FLAIR MRI.
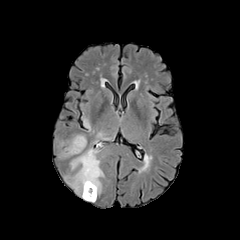
T1-weighted MR.
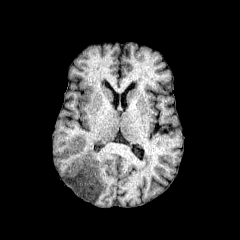
Post-contrast T1-weighted magnetic resonance.
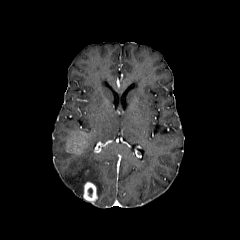
T2-weighted MR image.
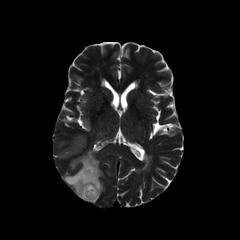
240x240
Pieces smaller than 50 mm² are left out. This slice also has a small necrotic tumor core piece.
enhancing tumor: <box>66,133,86,154</box>, <box>83,182,97,202</box> | peritumoral edema: <box>64,148,103,197</box>, <box>61,148,75,157</box>, <box>83,118,90,129</box>